Slice 59 of 155, Axial view, Brain
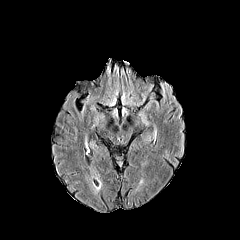
FLAIR magnetic resonance.
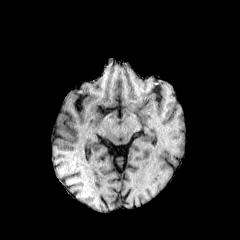
T1-weighted MR.
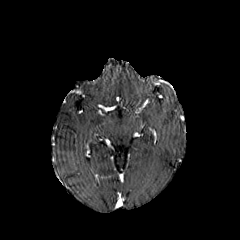
Post-contrast T1-weighted MR.
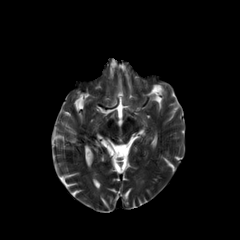
T2-weighted MR.
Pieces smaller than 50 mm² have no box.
peritumoral edema: (left=108, top=90, right=117, bottom=105)